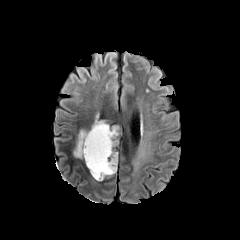
FLAIR magnetic resonance.
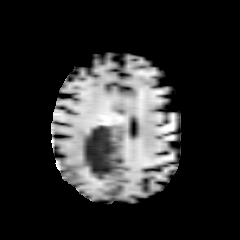
Same slice, T1-weighted MR image.
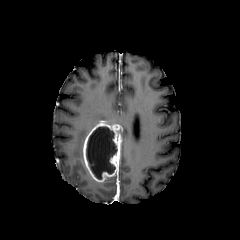
Post-contrast T1-weighted MR image.
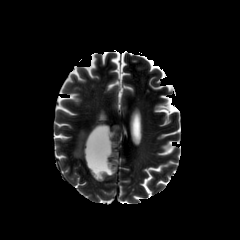
T2-weighted magnetic resonance.
Axial plane. Brain.
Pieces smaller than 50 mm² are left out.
Segmented structures:
• peritumoral edema: bbox=[74, 131, 87, 157]
• enhancing tumor: bbox=[83, 120, 121, 181]
• necrotic tumor core: bbox=[86, 127, 117, 179]